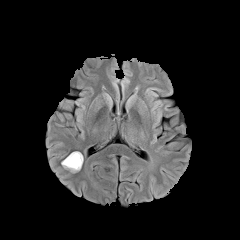
FLAIR magnetic resonance.
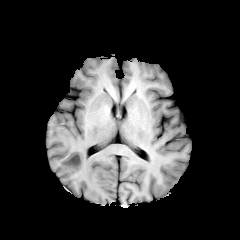
Same slice, T1-weighted MRI.
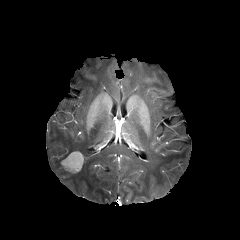
Post-contrast T1-weighted MR image of the same slice.
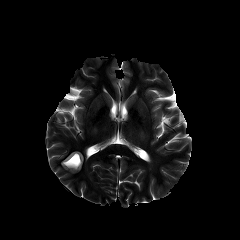
Same slice, T2-weighted magnetic resonance.
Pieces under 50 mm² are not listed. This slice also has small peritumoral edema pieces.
Annotated regions:
• enhancing tumor: [62, 152, 83, 171]